240x240, Brain
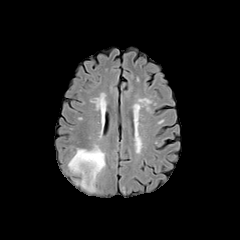
FLAIR MRI.
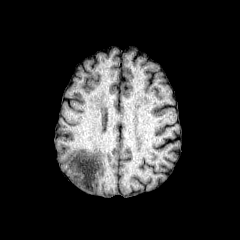
T1-weighted MR image of the same slice.
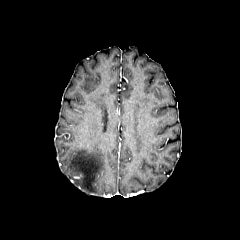
Post-contrast T1-weighted magnetic resonance.
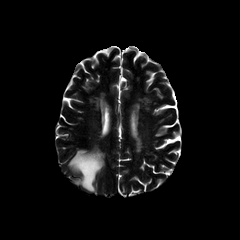
T2-weighted MR.
peritumoral edema: bounding box <box>68,146,105,192</box>